FLAIR MRI.
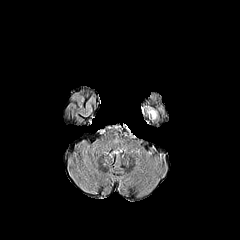
T1-weighted MR image.
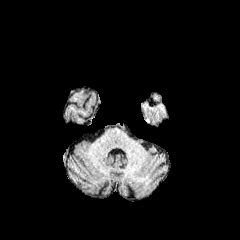
Post-contrast T1-weighted MR.
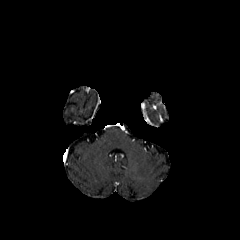
T2-weighted MR.
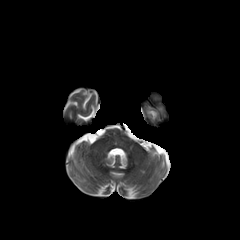
Head. 240x240 px.
The peritumoral edema is located at l=148, t=110, r=156, b=118.